Brain
FLAIR magnetic resonance.
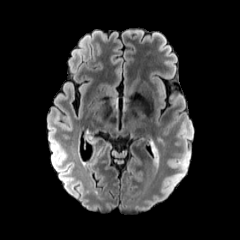
T1-weighted MRI.
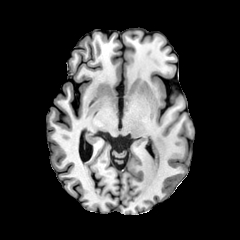
Post-contrast T1-weighted MR.
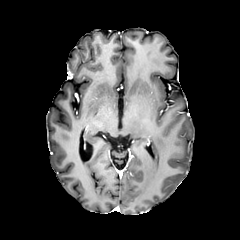
T2-weighted MR image.
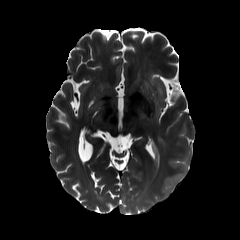
peritumoral edema: 151, 142, 158, 162